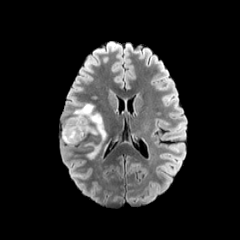
FLAIR MR.
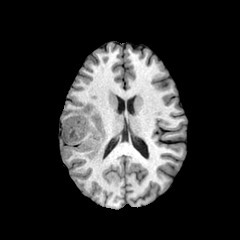
Same slice, T1-weighted magnetic resonance.
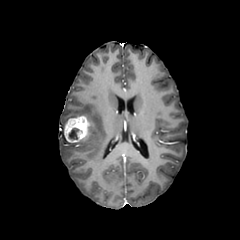
Post-contrast T1-weighted MRI.
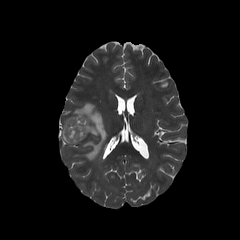
T2-weighted MR.
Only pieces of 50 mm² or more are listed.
The necrotic tumor core is located at (68, 128, 79, 139). The enhancing tumor is at (64, 116, 89, 142). The largest peritumoral edema region is bounded by (62, 103, 108, 159).